FLAIR MRI.
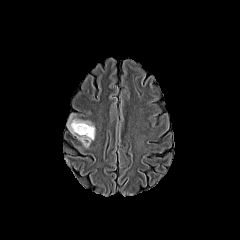
T1-weighted magnetic resonance.
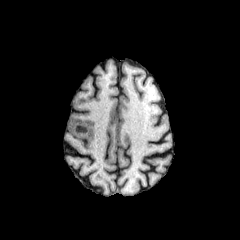
Post-contrast T1-weighted MR.
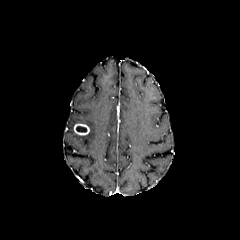
T2-weighted MR.
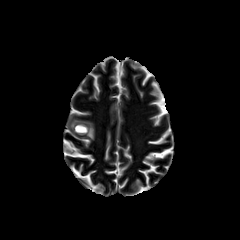
Image size 240x240
enhancing tumor = {"x1": 73, "y1": 123, "x2": 89, "y2": 135}
necrotic tumor core = {"x1": 76, "y1": 126, "x2": 86, "y2": 132}
peritumoral edema = {"x1": 67, "y1": 113, "x2": 95, "y2": 147}